Slice 88/155. Axial plane.
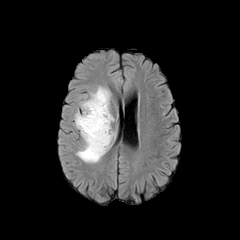
FLAIR magnetic resonance.
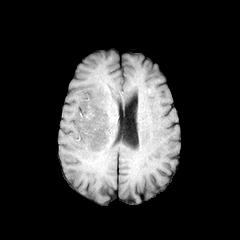
Same slice, T1-weighted magnetic resonance.
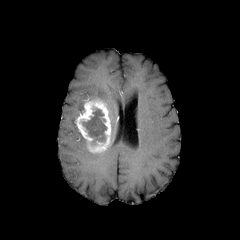
Post-contrast T1-weighted MR.
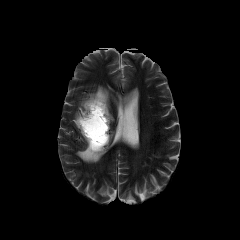
T2-weighted magnetic resonance.
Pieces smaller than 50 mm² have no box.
necrotic tumor core: bounding box region(83, 109, 106, 142)
enhancing tumor: bounding box region(75, 97, 111, 153)
peritumoral edema: bounding box region(84, 86, 114, 122); region(76, 131, 115, 162)